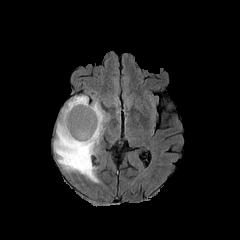
FLAIR MR image.
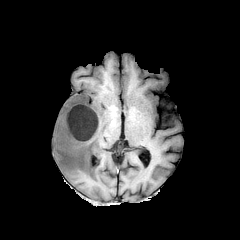
T1-weighted MR image of the same slice.
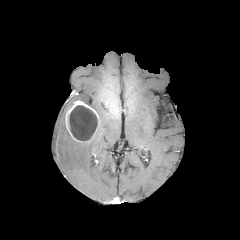
Post-contrast T1-weighted magnetic resonance.
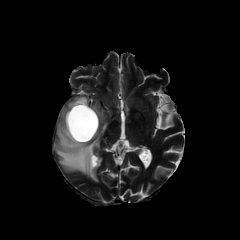
T2-weighted MRI.
Brain; 240x240; Axial slice
peritumoral_edema:
  - (left=53, top=95, right=106, bottom=182)
enhancing_tumor:
  - (left=65, top=100, right=99, bottom=142)
necrotic_tumor_core:
  - (left=69, top=105, right=97, bottom=141)